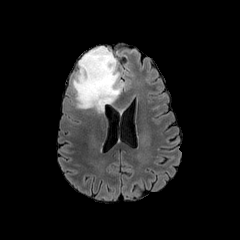
FLAIR MR image.
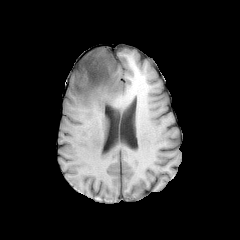
T1-weighted magnetic resonance.
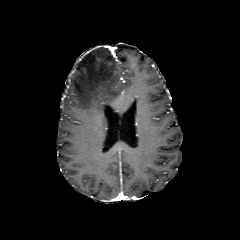
Post-contrast T1-weighted magnetic resonance.
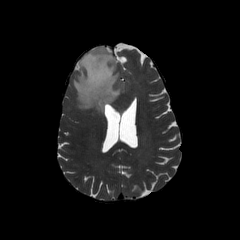
T2-weighted MR image of the same slice.
Brain
<segmentation>
  <peritumoral_edema>72 47 123 113</peritumoral_edema>
</segmentation>